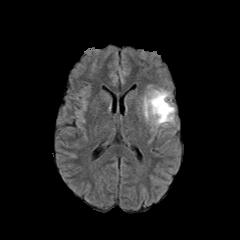
FLAIR MRI.
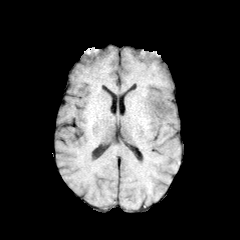
T1-weighted magnetic resonance.
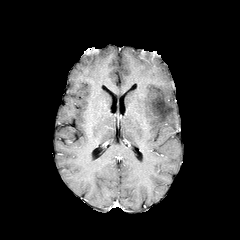
Post-contrast T1-weighted MRI of the same slice.
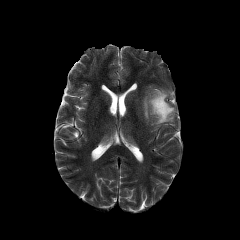
T2-weighted magnetic resonance.
240x240, Axial slice
peritumoral edema: region(143, 89, 175, 127)